FLAIR MRI.
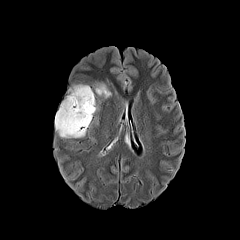
T1-weighted MR.
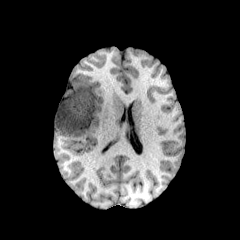
Post-contrast T1-weighted MR.
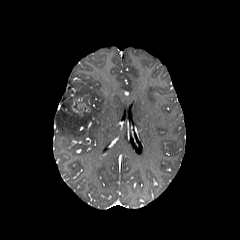
T2-weighted magnetic resonance.
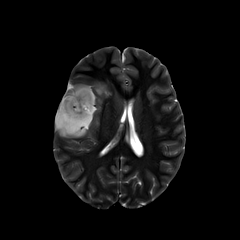
Head
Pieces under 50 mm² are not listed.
The 2 largest necrotic tumor core regions are located at 83,96,91,106; 73,112,88,131. The largest enhancing tumor region is located at 71,95,90,115. 3 peritumoral edema regions are located at 55,96,86,138; 95,84,111,97; 70,84,97,121.